FLAIR MRI.
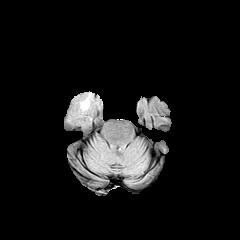
T1-weighted MR.
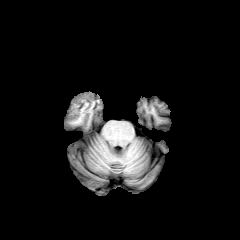
Post-contrast T1-weighted MRI.
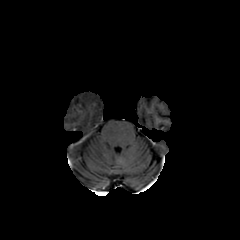
T2-weighted magnetic resonance.
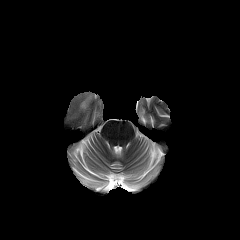
Axial slice
peritumoral edema: box=[80, 93, 92, 111]